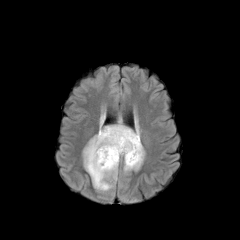
FLAIR MR.
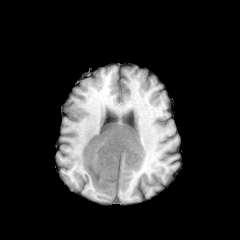
T1-weighted magnetic resonance of the same slice.
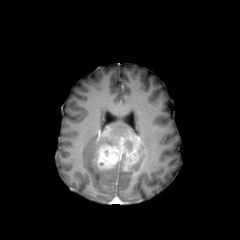
Post-contrast T1-weighted magnetic resonance.
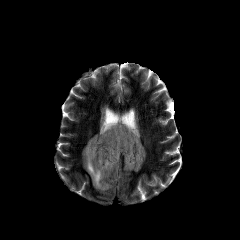
T2-weighted magnetic resonance.
Brain
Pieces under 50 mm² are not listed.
enhancing tumor: bounding box {"x1": 97, "y1": 126, "x2": 140, "y2": 170}
peritumoral edema: bounding box {"x1": 109, "y1": 118, "x2": 139, "y2": 136}, {"x1": 83, "y1": 134, "x2": 118, "y2": 191}, {"x1": 125, "y1": 143, "x2": 145, "y2": 172}
necrotic tumor core: bounding box {"x1": 125, "y1": 140, "x2": 132, "y2": 150}